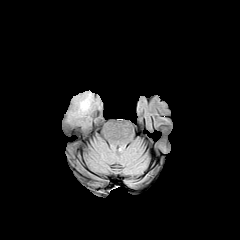
FLAIR magnetic resonance.
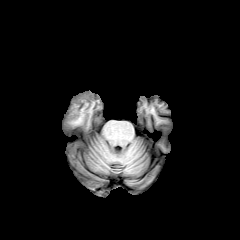
Same slice, T1-weighted MR.
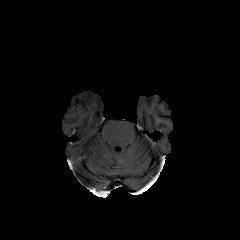
Post-contrast T1-weighted MRI of the same slice.
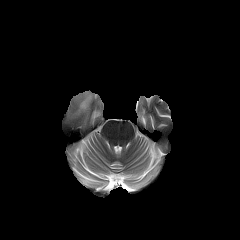
T2-weighted MRI.
peritumoral edema: (left=76, top=92, right=92, bottom=113)